Slice 122 of 155
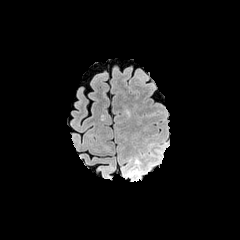
FLAIR magnetic resonance.
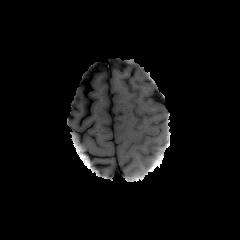
T1-weighted MRI.
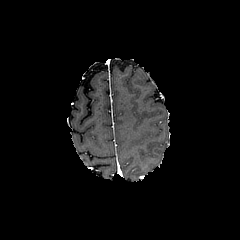
Post-contrast T1-weighted MR image.
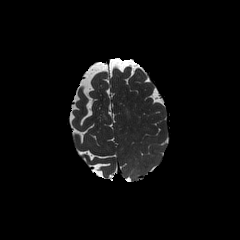
T2-weighted magnetic resonance.
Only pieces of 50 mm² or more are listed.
{"peritumoral_edema": ["x1=125, y1=169, x2=140, y2=179"]}